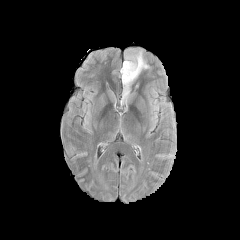
FLAIR magnetic resonance.
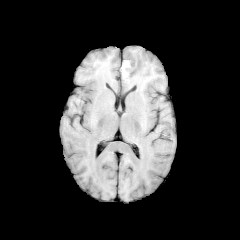
Same slice, T1-weighted MR.
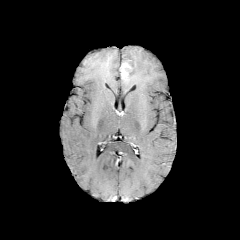
Same slice, post-contrast T1-weighted MRI.
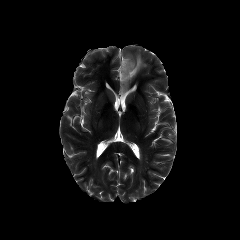
T2-weighted MRI.
peritumoral edema at <bbox>122, 51, 148, 94</bbox>
necrotic tumor core at <bbox>125, 61, 133, 79</bbox>
enhancing tumor at <bbox>120, 63, 130, 79</bbox>